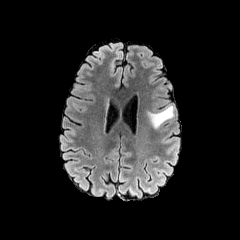
FLAIR MR.
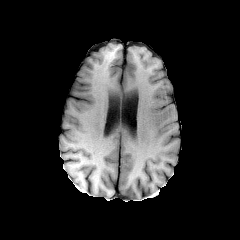
T1-weighted MRI.
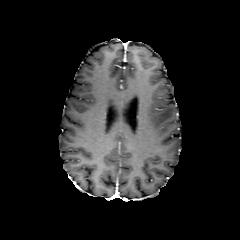
Post-contrast T1-weighted MRI.
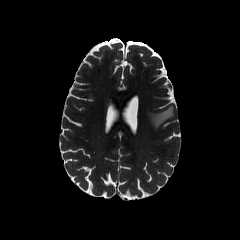
T2-weighted MR image of the same slice.
Axial slice, 240x240 px
peritumoral_edema:
  - 148, 105, 173, 128